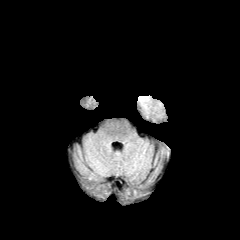
FLAIR MR image.
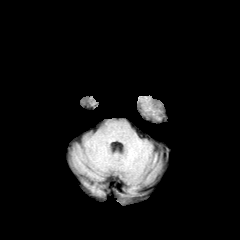
Same slice, T1-weighted MR image.
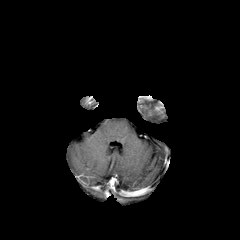
Post-contrast T1-weighted MRI.
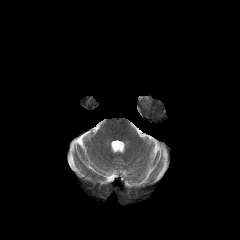
T2-weighted MRI.
Head | Axial slice
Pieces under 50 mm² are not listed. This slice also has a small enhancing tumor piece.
peritumoral_edema:
  - 138 96 160 121